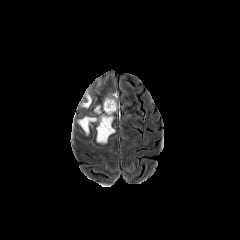
FLAIR MR.
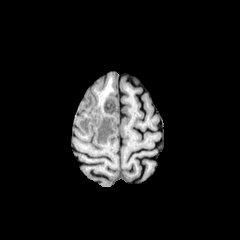
Same slice, T1-weighted MR image.
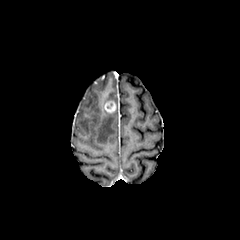
Post-contrast T1-weighted MR image.
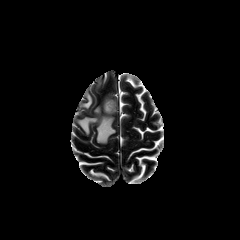
T2-weighted MRI of the same slice.
Axial plane
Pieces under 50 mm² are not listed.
Annotated regions:
* enhancing tumor: region(104, 101, 116, 113)
* peritumoral edema: region(81, 92, 91, 108); region(77, 109, 115, 143)